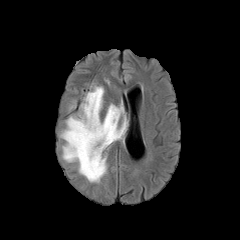
FLAIR MR.
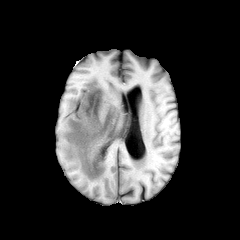
Same slice, T1-weighted MRI.
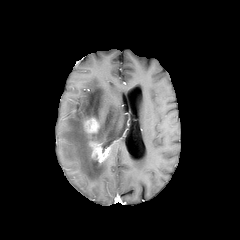
Post-contrast T1-weighted MRI of the same slice.
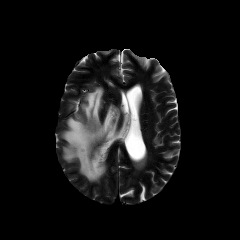
Same slice, T2-weighted MRI.
Image size 240x240
The enhancing tumor lies within rect(84, 117, 109, 163). The peritumoral edema is bounded by rect(61, 86, 126, 181).